FLAIR magnetic resonance.
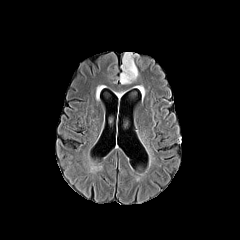
T1-weighted magnetic resonance.
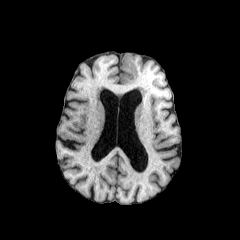
Post-contrast T1-weighted magnetic resonance.
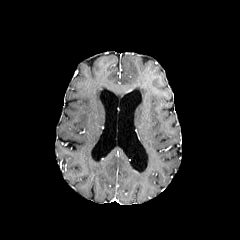
T2-weighted MRI.
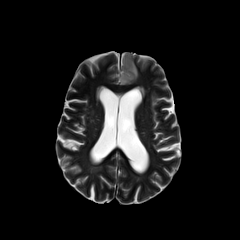
Head. 240x240.
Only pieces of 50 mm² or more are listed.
peritumoral edema: bounding box [120,52,138,84], [137,86,144,97]